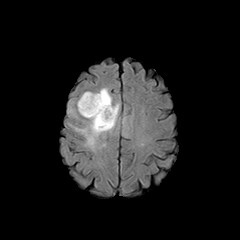
FLAIR MR image.
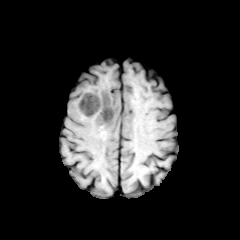
T1-weighted magnetic resonance.
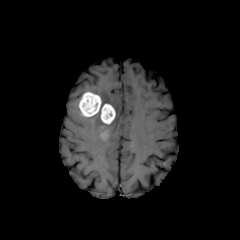
Post-contrast T1-weighted magnetic resonance of the same slice.
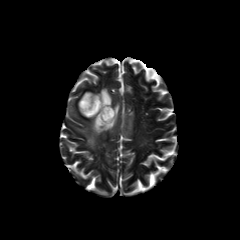
T2-weighted magnetic resonance.
Axial view
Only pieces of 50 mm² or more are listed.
The enhancing tumor appears at (left=78, top=92, right=115, bottom=124). The largest peritumoral edema region is located at (left=75, top=87, right=119, bottom=148). The largest necrotic tumor core region is located at (left=104, top=109, right=112, bottom=118).